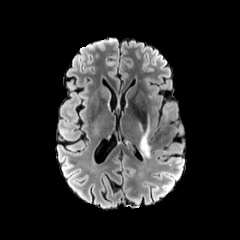
FLAIR MRI.
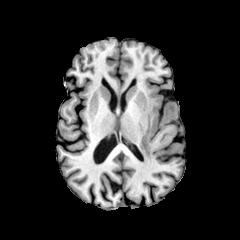
Same slice, T1-weighted magnetic resonance.
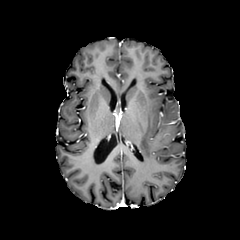
Post-contrast T1-weighted magnetic resonance.
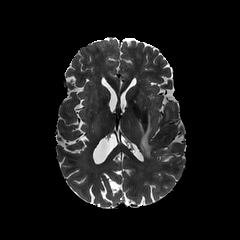
T2-weighted MR image.
240x240 px; Axial plane
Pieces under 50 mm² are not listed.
* peritumoral edema: [138, 114, 151, 158]